Slice 55 of 155. 240x240. Brain.
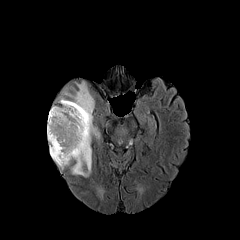
FLAIR magnetic resonance.
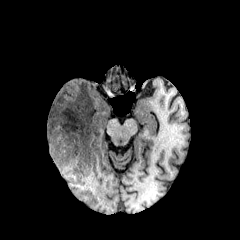
Same slice, T1-weighted MR.
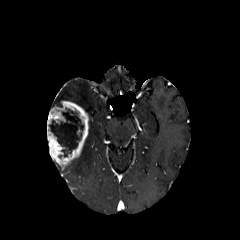
Post-contrast T1-weighted MR of the same slice.
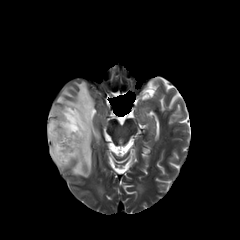
T2-weighted MR.
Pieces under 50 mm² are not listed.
The largest peritumoral edema region is located at (55,81,99,177). The largest necrotic tumor core region is located at (49,109,83,156). The largest enhancing tumor region is located at (47,100,92,168).